Slice 87 of 155
FLAIR MR.
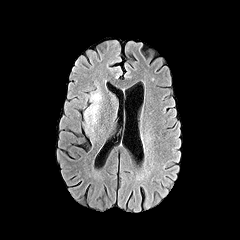
T1-weighted MRI.
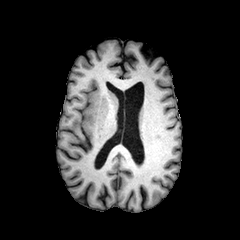
Post-contrast T1-weighted MR image.
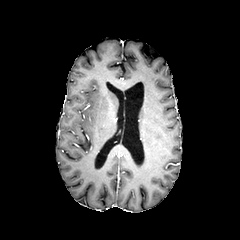
T2-weighted MRI.
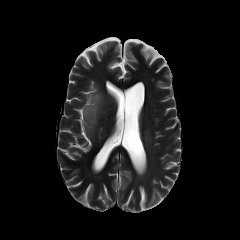
<segmentation>
  <peritumoral_edema>85 92 101 126</peritumoral_edema>
</segmentation>